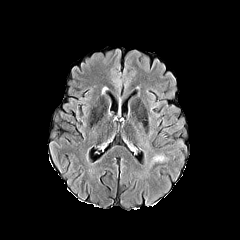
FLAIR MR.
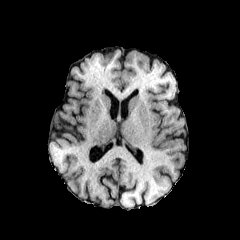
Same slice, T1-weighted MR.
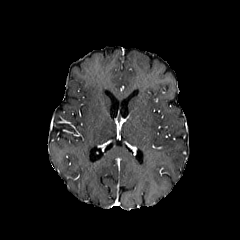
Post-contrast T1-weighted MR of the same slice.
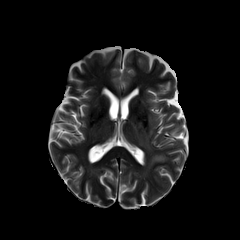
Same slice, T2-weighted MR image.
240x240
The peritumoral edema is located at left=150, top=155, right=164, bottom=165.